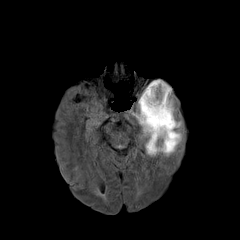
FLAIR magnetic resonance.
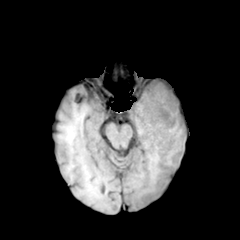
Same slice, T1-weighted magnetic resonance.
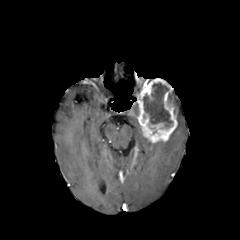
Post-contrast T1-weighted MRI.
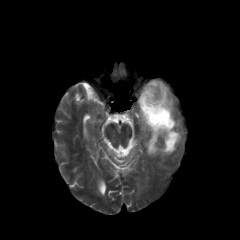
T2-weighted MRI.
Axial plane, Brain
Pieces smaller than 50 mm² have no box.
- necrotic tumor core: 143 83 172 127
- enhancing tumor: 137 79 177 143
- peritumoral edema: 145 121 182 156